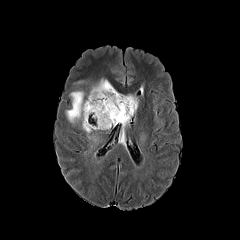
FLAIR MR.
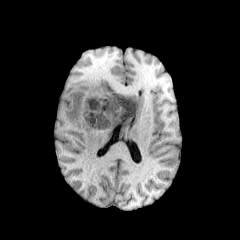
T1-weighted MR image of the same slice.
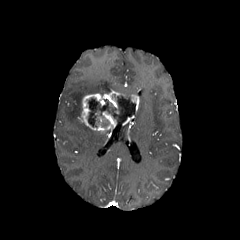
Post-contrast T1-weighted MR image.
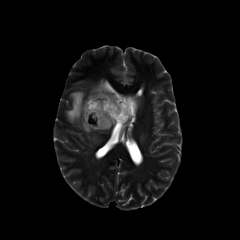
T2-weighted MR.
240x240
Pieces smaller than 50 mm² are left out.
The 3 largest peritumoral edema regions are bounded by (66,91,84,123), (82,123,96,141), (90,79,115,93). The largest necrotic tumor core region is located at (88,96,135,127). The 2 largest enhancing tumor regions are located at (79,90,139,131), (122,115,134,125).